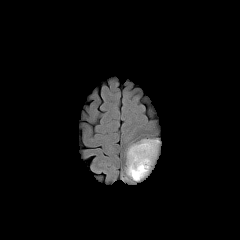
FLAIR MRI.
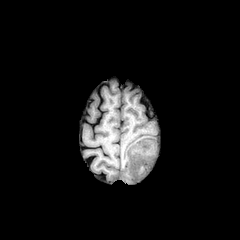
T1-weighted MR.
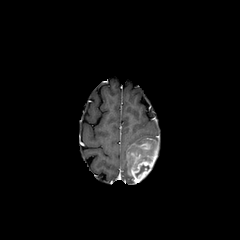
Post-contrast T1-weighted MR image.
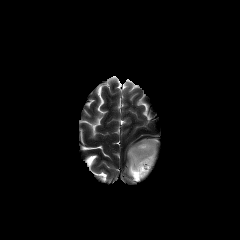
T2-weighted MR image of the same slice.
Head | 240x240 px | Axial view
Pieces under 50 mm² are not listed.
necrotic tumor core: bounding box (x1=135, y1=165, x2=149, y2=176)
peritumoral edema: bounding box (x1=127, y1=139, x2=157, y2=154), (x1=126, y1=157, x2=133, y2=179)
enhancing tumor: bounding box (x1=127, y1=143, x2=157, y2=182)